FLAIR MR image.
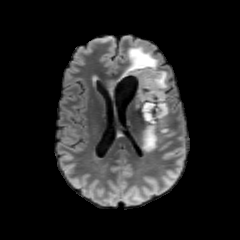
T1-weighted MR.
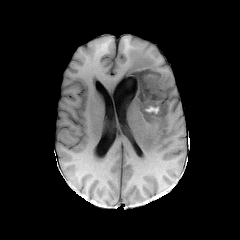
Post-contrast T1-weighted MR image.
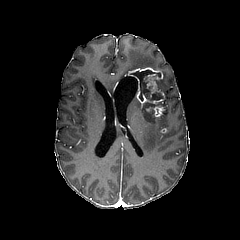
T2-weighted magnetic resonance.
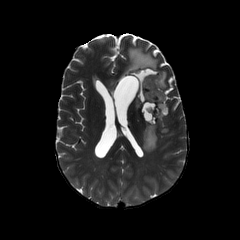
Brain.
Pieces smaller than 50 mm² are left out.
{
  "peritumoral_edema": [
    "109 44 158 90",
    "155 100 168 119",
    "160 70 167 90",
    "142 122 158 151"
  ],
  "necrotic_tumor_core": [
    "130 70 163 100",
    "142 102 154 122"
  ],
  "enhancing_tumor": [
    "125 67 164 116"
  ]
}